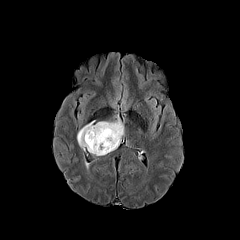
FLAIR MR.
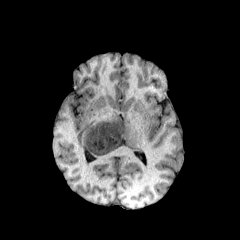
T1-weighted MR.
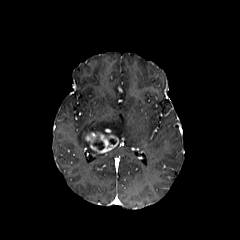
Post-contrast T1-weighted MRI.
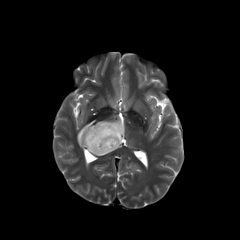
Same slice, T2-weighted MR.
Axial view, Image size 240x240
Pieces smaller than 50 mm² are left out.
peritumoral edema at (x1=77, y1=118, x2=124, y2=155)
necrotic tumor core at (x1=93, y1=139, x2=104, y2=150)
enhancing tumor at (x1=85, y1=129, x2=118, y2=153)